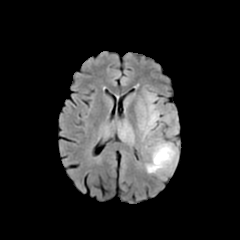
FLAIR magnetic resonance.
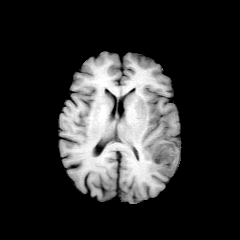
T1-weighted magnetic resonance.
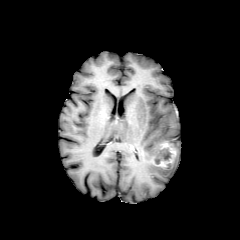
Post-contrast T1-weighted magnetic resonance of the same slice.
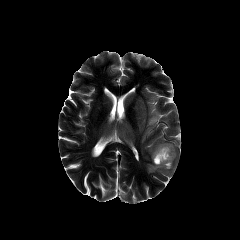
T2-weighted MRI.
Head
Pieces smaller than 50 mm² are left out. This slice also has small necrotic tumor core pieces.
The 2 largest peritumoral edema regions are located at x1=139, y1=92, x2=172, y2=139; x1=146, y1=139, x2=178, y2=178. The largest enhancing tumor region lies within x1=152, y1=142, x2=176, y2=169.